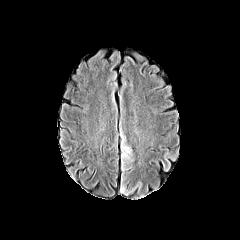
FLAIR MRI.
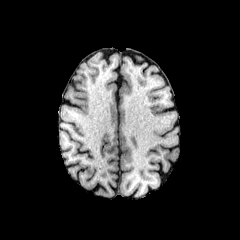
T1-weighted MR of the same slice.
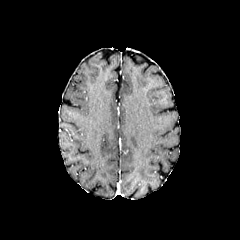
Post-contrast T1-weighted MRI.
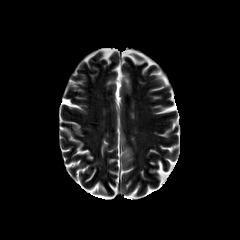
T2-weighted MR image of the same slice.
240x240 px, Brain
{"peritumoral_edema": ["<box>120,132,134,166</box>"]}